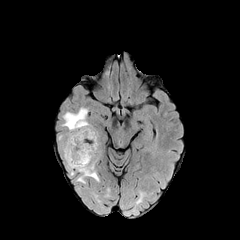
FLAIR MR.
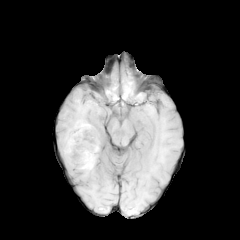
T1-weighted MRI.
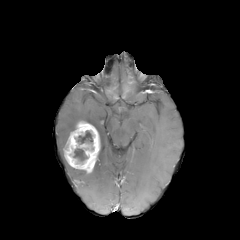
Post-contrast T1-weighted MR of the same slice.
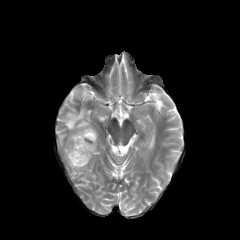
T2-weighted MR image.
Brain, 240x240 px
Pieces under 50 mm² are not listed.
Segmented structures:
• necrotic tumor core: 73,148,87,161; 77,131,92,143
• peritumoral edema: 59,107,90,144; 76,168,98,183
• enhancing tumor: 64,121,100,173